FLAIR MRI.
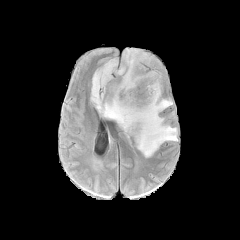
T1-weighted MRI.
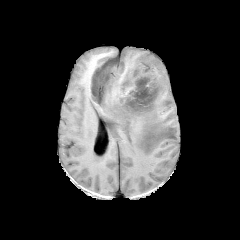
Post-contrast T1-weighted MRI.
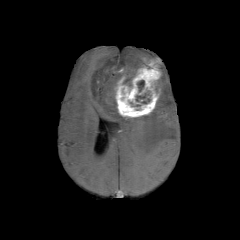
T2-weighted MR.
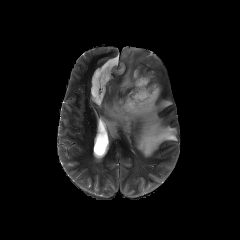
Brain; Axial slice
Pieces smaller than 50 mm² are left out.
- peritumoral edema: 90 47 177 157
- necrotic tumor core: 137 80 144 91
- enhancing tumor: 115 58 161 117